FLAIR magnetic resonance.
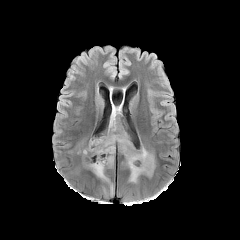
T1-weighted MR.
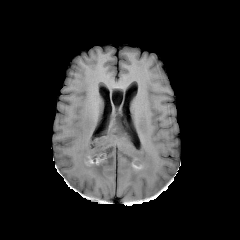
Post-contrast T1-weighted MRI.
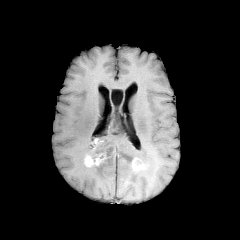
T2-weighted MR.
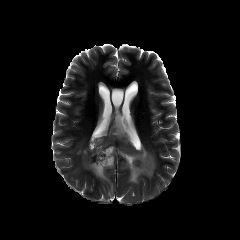
Head. Image size 240x240.
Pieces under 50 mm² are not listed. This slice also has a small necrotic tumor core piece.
The peritumoral edema appears at bbox(83, 108, 155, 191). 3 enhancing tumor regions appear at bbox(84, 153, 105, 167); bbox(132, 158, 144, 169); bbox(91, 138, 103, 150).